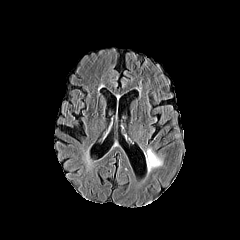
FLAIR MRI.
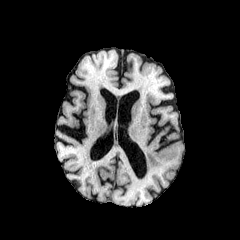
Same slice, T1-weighted MRI.
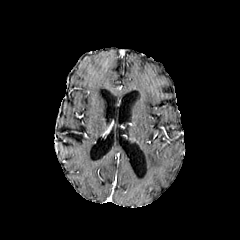
Post-contrast T1-weighted magnetic resonance.
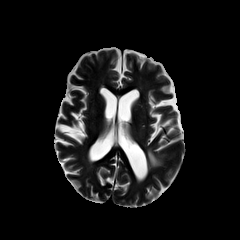
T2-weighted MR.
Axial slice | Head
peritumoral edema = [147, 148, 162, 170]